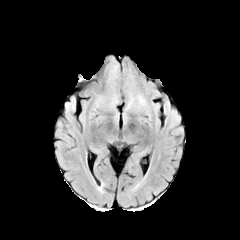
FLAIR magnetic resonance.
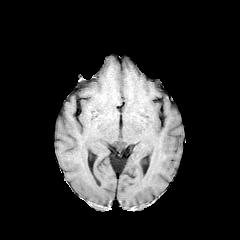
T1-weighted MRI of the same slice.
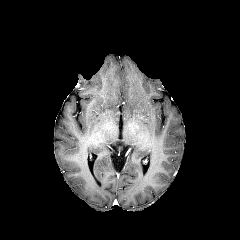
Post-contrast T1-weighted MRI of the same slice.
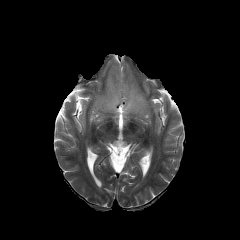
T2-weighted MRI.
240x240 px | Axial plane
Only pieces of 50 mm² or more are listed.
peritumoral edema at (x1=125, y1=87, x2=146, y2=110), (x1=110, y1=94, x2=118, y2=106)